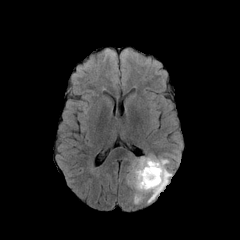
FLAIR MRI.
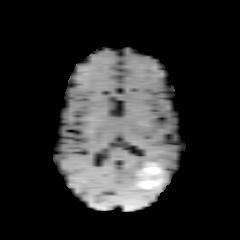
T1-weighted MR of the same slice.
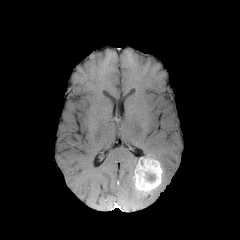
Post-contrast T1-weighted magnetic resonance.
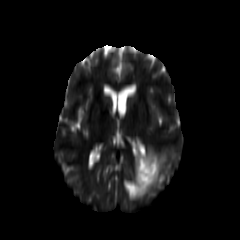
Same slice, T2-weighted magnetic resonance.
Brain.
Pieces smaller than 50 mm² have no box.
peritumoral edema: box=[142, 153, 172, 202]; box=[126, 158, 148, 203] | necrotic tumor core: box=[144, 172, 154, 181] | enhancing tumor: box=[133, 157, 162, 194]